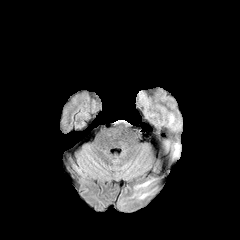
FLAIR MRI.
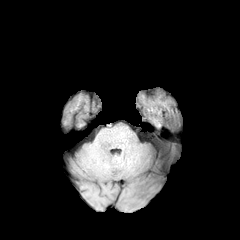
T1-weighted MRI of the same slice.
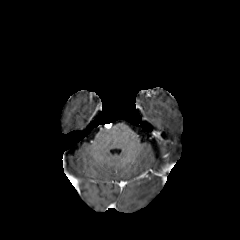
Post-contrast T1-weighted MR.
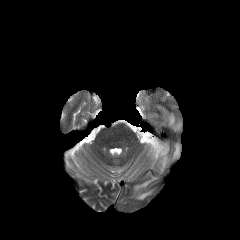
T2-weighted MR.
Axial plane.
Segmented structures:
- peritumoral edema: [x1=173, y1=144, x2=180, y2=157], [x1=132, y1=191, x2=152, y2=199], [x1=134, y1=179, x2=153, y2=190], [x1=168, y1=113, x2=180, y2=129]